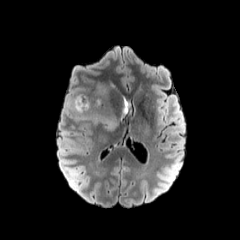
FLAIR MRI.
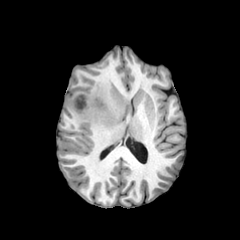
Same slice, T1-weighted MR image.
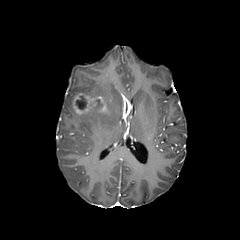
Post-contrast T1-weighted MR image.
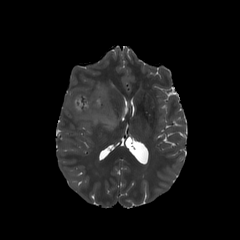
Same slice, T2-weighted magnetic resonance.
Head.
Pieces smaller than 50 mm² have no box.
necrotic tumor core: 76, 96, 87, 109 | enhancing tumor: 122, 95, 131, 118; 72, 93, 107, 114 | peritumoral edema: 79, 82, 118, 129